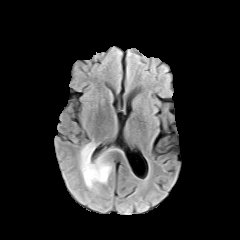
FLAIR MRI.
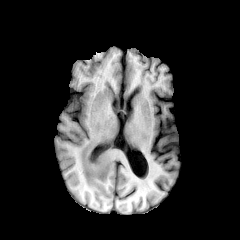
T1-weighted MRI.
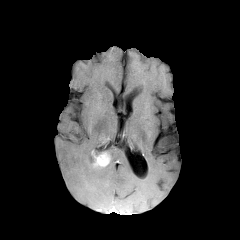
Post-contrast T1-weighted MR.
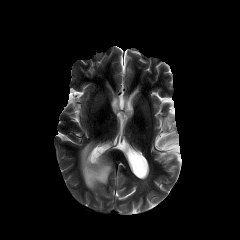
Same slice, T2-weighted MR image.
Head. Image size 240x240.
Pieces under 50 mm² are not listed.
enhancing_tumor:
  - x1=92, y1=151, x2=109, y2=166
peritumoral_edema:
  - x1=79, y1=141, x2=112, y2=192